FLAIR MRI.
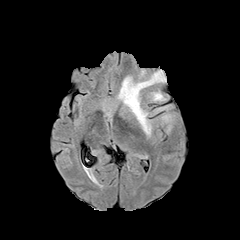
T1-weighted MR image.
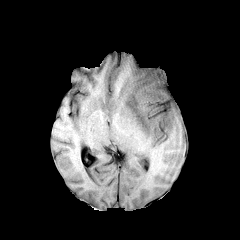
Post-contrast T1-weighted magnetic resonance.
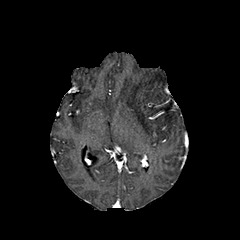
T2-weighted MR.
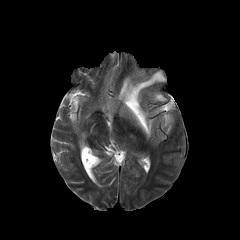
Axial plane | Brain
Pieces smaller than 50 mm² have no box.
peritumoral edema: x1=152, y1=92, x2=165, y2=100; x1=162, y1=114, x2=172, y2=132; x1=117, y1=70, x2=166, y2=136